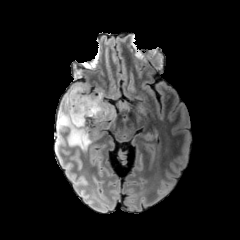
FLAIR MR.
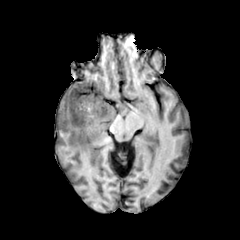
T1-weighted MR image.
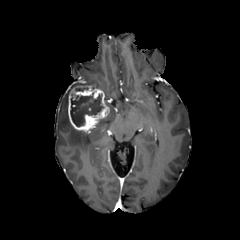
Same slice, post-contrast T1-weighted MRI.
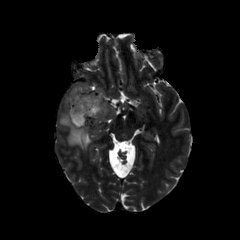
T2-weighted MR image of the same slice.
Head
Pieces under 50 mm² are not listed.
{
  "enhancing_tumor": [
    "(67, 81, 109, 132)"
  ],
  "peritumoral_edema": [
    "(57, 82, 90, 150)"
  ],
  "necrotic_tumor_core": [
    "(70, 93, 103, 126)"
  ]
}